Brain; Slice 118/155
FLAIR MRI.
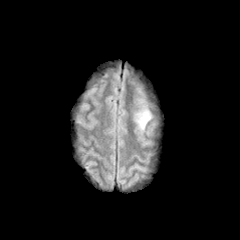
T1-weighted magnetic resonance.
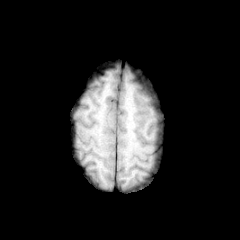
Post-contrast T1-weighted MR.
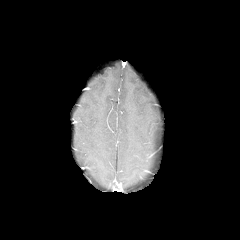
T2-weighted magnetic resonance.
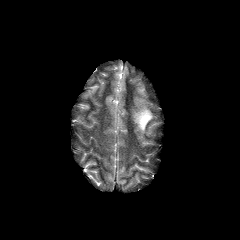
<segmentation>
  <peritumoral_edema>region(137, 110, 151, 129)</peritumoral_edema>
</segmentation>